Axial plane
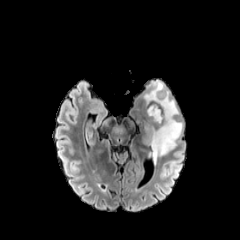
FLAIR MRI.
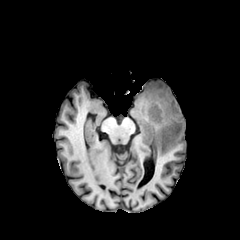
T1-weighted MR image.
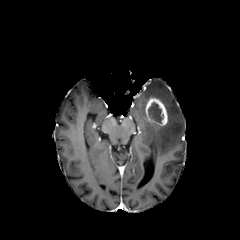
Same slice, post-contrast T1-weighted MR.
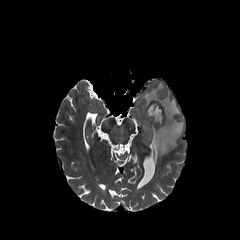
T2-weighted MR image.
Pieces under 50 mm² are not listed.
<segmentation>
  <enhancing_tumor>(145, 97, 167, 125)</enhancing_tumor>
  <peritumoral_edema>(141, 80, 183, 165)</peritumoral_edema>
  <necrotic_tumor_core>(148, 102, 162, 123)</necrotic_tumor_core>
</segmentation>